Slice 100 of 155. Axial slice. Head.
FLAIR MRI.
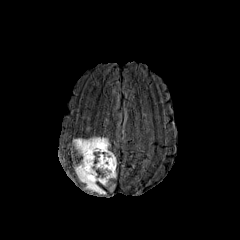
T1-weighted magnetic resonance.
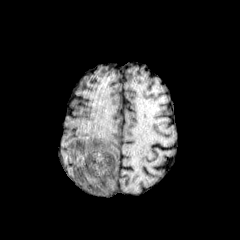
Post-contrast T1-weighted MR image.
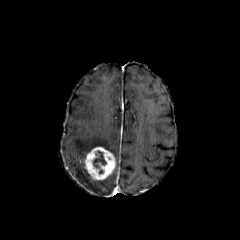
T2-weighted magnetic resonance.
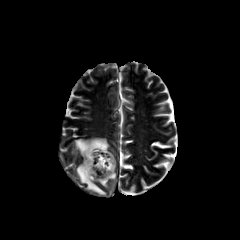
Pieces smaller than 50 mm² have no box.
The enhancing tumor appears at x1=84 y1=146 x2=116 y2=180. The 2 largest peritumoral edema regions are bounded by x1=73 y1=137 x2=110 y2=194, x1=98 y1=168 x2=116 y2=186. The largest necrotic tumor core region appears at x1=93 y1=151 x2=106 y2=167.